FLAIR magnetic resonance.
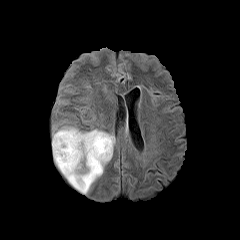
T1-weighted MRI.
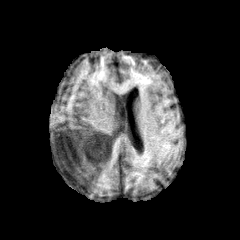
Post-contrast T1-weighted MR.
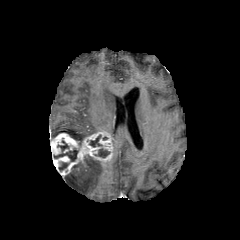
T2-weighted MRI.
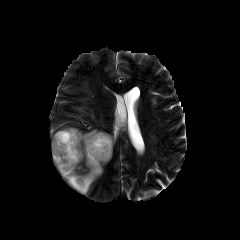
Axial plane
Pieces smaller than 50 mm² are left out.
{
  "necrotic_tumor_core": [
    "box(58, 141, 68, 151)",
    "box(59, 162, 68, 170)",
    "box(89, 135, 101, 147)",
    "box(54, 149, 77, 161)",
    "box(95, 148, 109, 157)"
  ],
  "enhancing_tumor": [
    "box(51, 131, 113, 176)"
  ],
  "peritumoral_edema": [
    "box(65, 156, 104, 194)",
    "box(53, 127, 101, 145)"
  ]
}